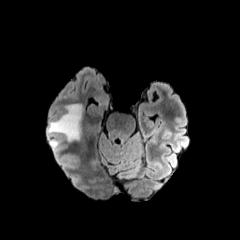
FLAIR MR image.
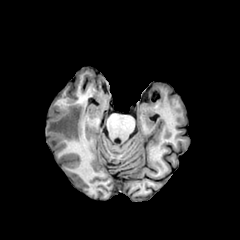
T1-weighted MRI.
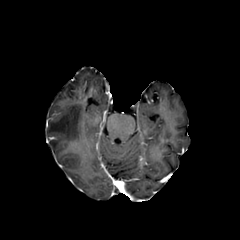
Same slice, post-contrast T1-weighted MRI.
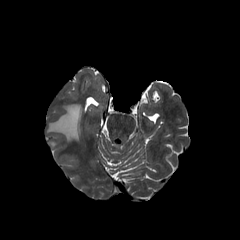
T2-weighted MR.
Axial view. Brain.
2 peritumoral edema regions are bounded by {"x1": 50, "y1": 140, "x2": 60, "y2": 148}, {"x1": 47, "y1": 104, "x2": 82, "y2": 140}.